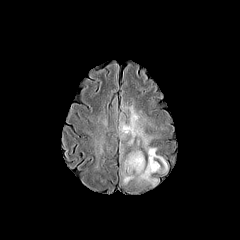
FLAIR MR.
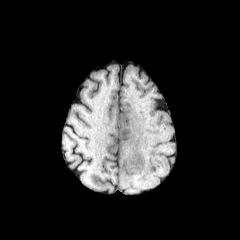
T1-weighted MR of the same slice.
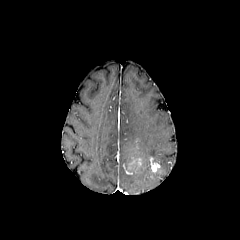
Same slice, post-contrast T1-weighted magnetic resonance.
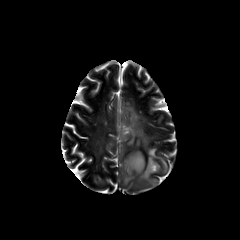
Same slice, T2-weighted MR.
Brain, Axial plane
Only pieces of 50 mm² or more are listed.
peritumoral edema: box=[92, 132, 105, 159]; box=[96, 112, 108, 128]; box=[119, 98, 168, 187]
enhancing tumor: box=[149, 157, 160, 172]; box=[126, 157, 142, 172]